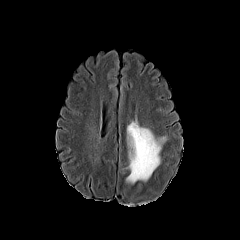
FLAIR MRI.
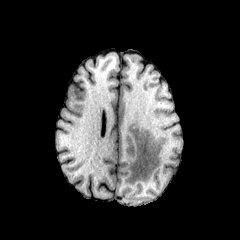
Same slice, T1-weighted magnetic resonance.
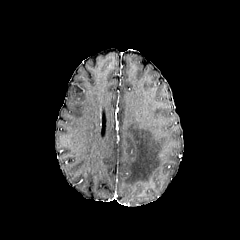
Post-contrast T1-weighted MR image.
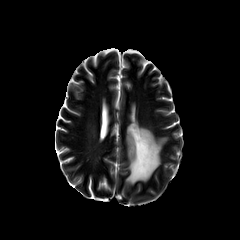
T2-weighted MRI.
Brain, Axial slice
peritumoral edema — region(126, 121, 166, 184)